FLAIR magnetic resonance.
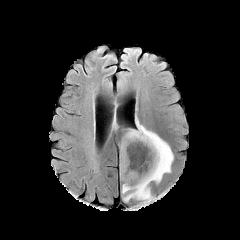
T1-weighted MRI.
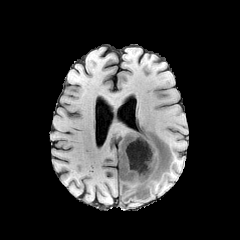
Post-contrast T1-weighted MR image.
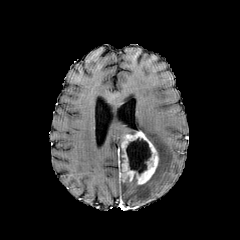
T2-weighted MR image.
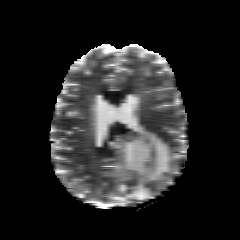
Axial plane; Brain
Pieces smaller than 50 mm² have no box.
enhancing tumor: 119,130,158,184 | necrotic tumor core: 126,138,151,174 | peritumoral edema: 121,119,173,202